Image size 240x240 | Axial view
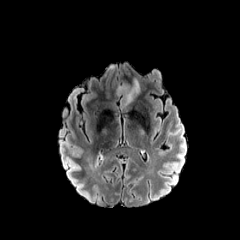
FLAIR magnetic resonance.
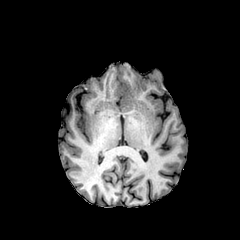
T1-weighted MR image of the same slice.
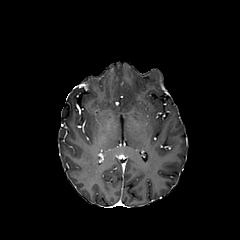
Post-contrast T1-weighted MR.
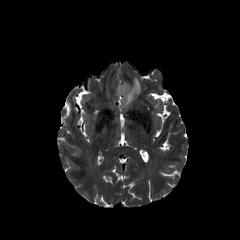
T2-weighted MR.
The peritumoral edema is bounded by (left=117, top=78, right=140, bottom=105).